Brain
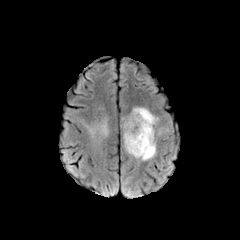
FLAIR MRI.
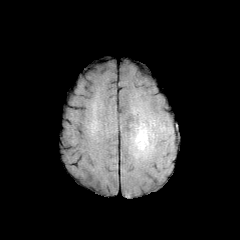
Same slice, T1-weighted MR image.
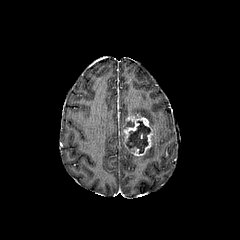
Post-contrast T1-weighted MR.
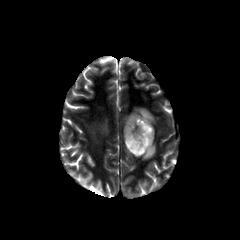
T2-weighted magnetic resonance of the same slice.
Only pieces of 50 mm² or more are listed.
The 2 largest peritumoral edema regions are bounded by left=124, top=107, right=158, bottom=160; left=101, top=123, right=108, bottom=134. The largest necrotic tumor core region is located at left=125, top=121, right=150, bottom=153. The largest enhancing tumor region lies within left=123, top=114, right=153, bottom=156.